Head; Image covers 240 mm x 240 mm
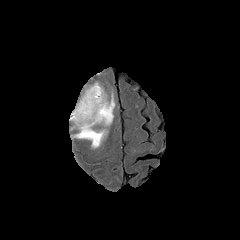
FLAIR magnetic resonance.
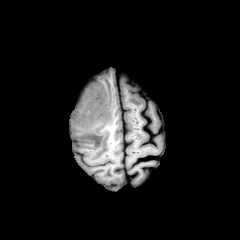
Same slice, T1-weighted MRI.
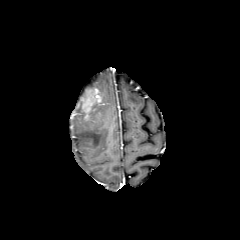
Post-contrast T1-weighted MR image.
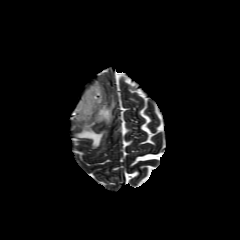
Same slice, T2-weighted MRI.
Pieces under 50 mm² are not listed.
Annotated regions:
* enhancing tumor: box=[80, 87, 104, 120]
* peritumoral edema: box=[71, 84, 115, 148]